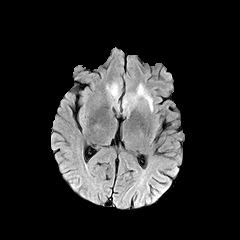
FLAIR MRI.
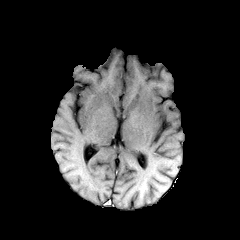
Same slice, T1-weighted magnetic resonance.
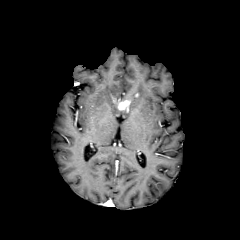
Post-contrast T1-weighted MR image.
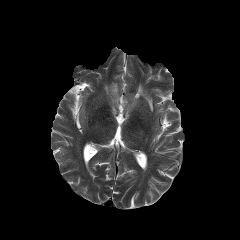
T2-weighted MRI.
240x240, Axial view
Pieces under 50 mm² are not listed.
The peritumoral edema appears at box(106, 83, 153, 112). The largest enhancing tumor region is located at box(112, 97, 130, 110).